FLAIR MR.
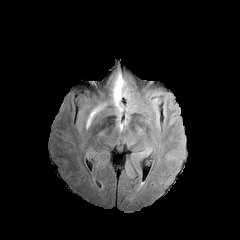
T1-weighted MR image.
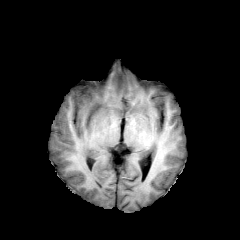
Post-contrast T1-weighted MR.
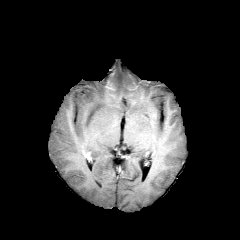
T2-weighted MR.
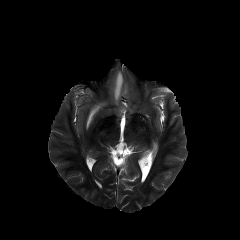
Axial view
peritumoral edema: 112:71:127:110, 87:105:102:126